FLAIR MR.
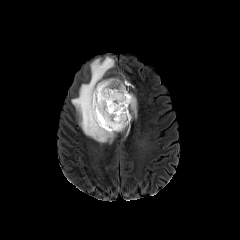
T1-weighted MRI.
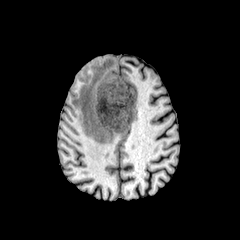
Post-contrast T1-weighted magnetic resonance.
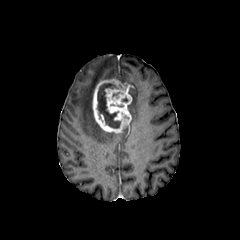
T2-weighted MR.
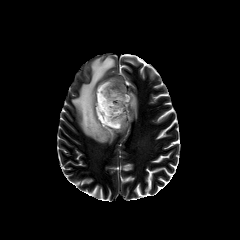
Brain, Axial plane
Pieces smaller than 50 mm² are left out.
The enhancing tumor is bounded by region(92, 78, 132, 132). The largest necrotic tumor core region lies within region(97, 83, 120, 128). The 2 largest peritumoral edema regions are located at region(71, 56, 115, 142); region(128, 91, 136, 117).